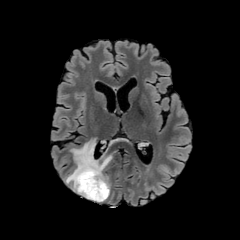
FLAIR MRI.
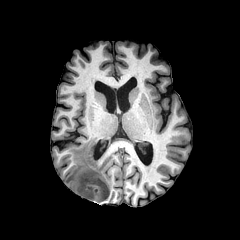
Same slice, T1-weighted MR.
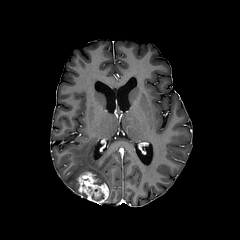
Same slice, post-contrast T1-weighted MR.
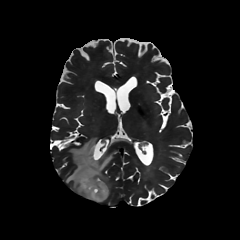
T2-weighted magnetic resonance.
Head.
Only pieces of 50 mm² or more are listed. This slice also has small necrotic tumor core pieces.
Annotated regions:
- peritumoral edema: bbox(64, 139, 112, 195)
- enhancing tumor: bbox(78, 171, 108, 203)